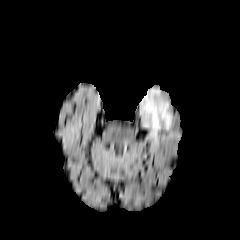
FLAIR magnetic resonance.
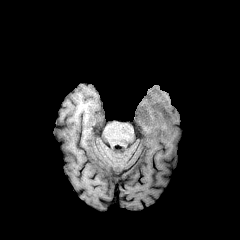
T1-weighted magnetic resonance.
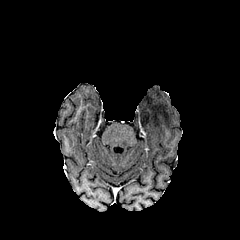
Post-contrast T1-weighted magnetic resonance of the same slice.
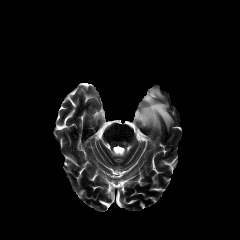
T2-weighted MR.
240x240
The peritumoral edema is at region(140, 89, 172, 131).